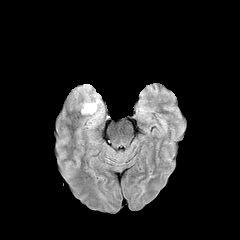
FLAIR MRI.
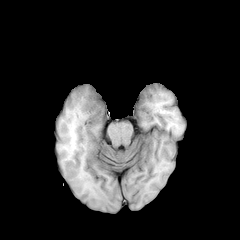
T1-weighted magnetic resonance.
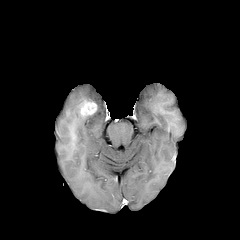
Same slice, post-contrast T1-weighted MR image.
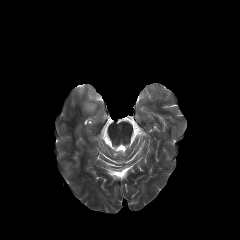
Same slice, T2-weighted MRI.
Head
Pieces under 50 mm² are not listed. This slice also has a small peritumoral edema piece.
Findings:
* enhancing tumor: [81,100,97,116]